FLAIR MR.
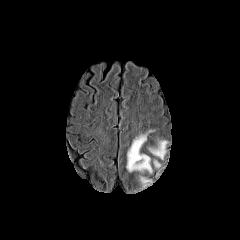
T1-weighted MRI.
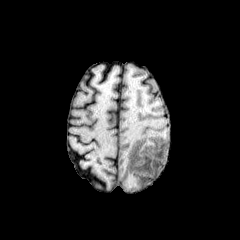
Post-contrast T1-weighted MR.
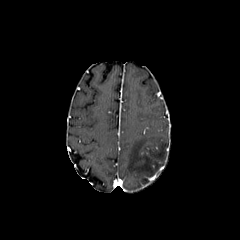
T2-weighted MRI.
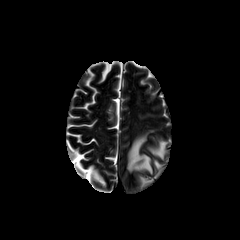
Axial slice; Head
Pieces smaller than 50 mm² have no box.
{"peritumoral_edema": ["140 176 150 186", "127 134 152 173", "149 140 166 159"]}